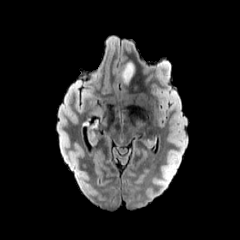
FLAIR MR.
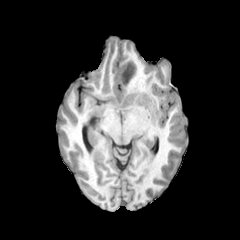
T1-weighted MR.
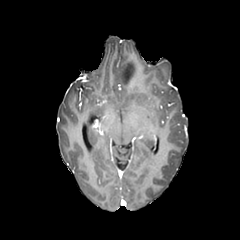
Post-contrast T1-weighted MRI.
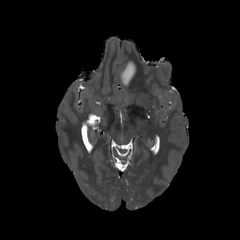
Same slice, T2-weighted MR.
Head
Annotated regions:
* peritumoral edema: left=120, top=61, right=135, bottom=82